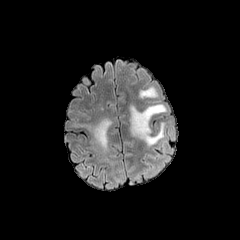
FLAIR MR.
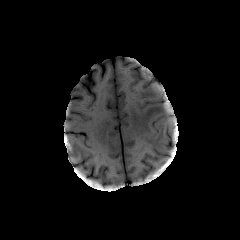
T1-weighted MRI.
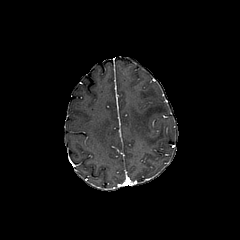
Post-contrast T1-weighted magnetic resonance of the same slice.
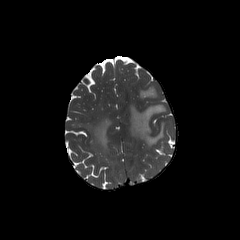
Same slice, T2-weighted magnetic resonance.
Axial slice
peritumoral edema: [86, 118, 111, 151], [130, 104, 167, 146], [139, 87, 158, 98]